FLAIR MR.
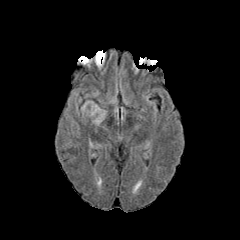
T1-weighted magnetic resonance.
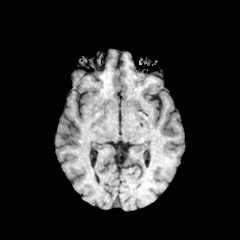
Post-contrast T1-weighted MR.
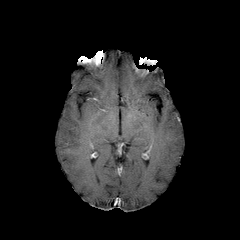
T2-weighted MR.
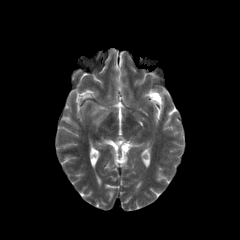
Axial plane; Head
<segmentation>
  <peritumoral_edema>left=81, top=100, right=107, bottom=125</peritumoral_edema>
</segmentation>